Slice index 80 | Image covers 240 mm x 240 mm
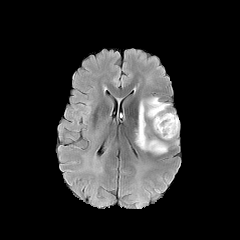
FLAIR MRI.
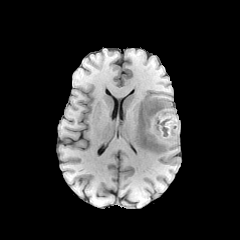
T1-weighted MR image.
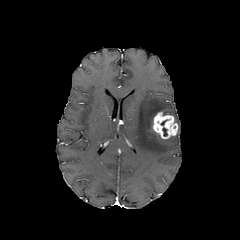
Post-contrast T1-weighted MR.
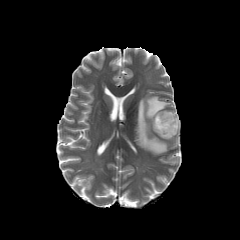
T2-weighted MR image.
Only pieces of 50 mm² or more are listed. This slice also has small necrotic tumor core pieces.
{
  "peritumoral_edema": [
    "[x1=135, y1=97, x2=179, y2=154]"
  ],
  "enhancing_tumor": [
    "[x1=152, y1=112, x2=178, y2=138]"
  ]
}